FLAIR MRI.
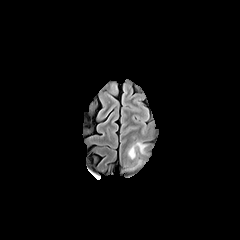
T1-weighted MR image.
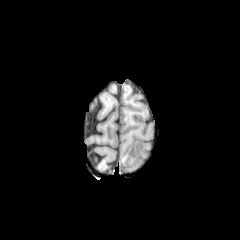
Post-contrast T1-weighted MR.
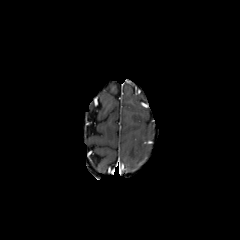
T2-weighted MR.
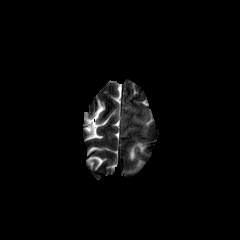
peritumoral edema: 128,142,149,159